Head, Image covers 240 mm x 240 mm
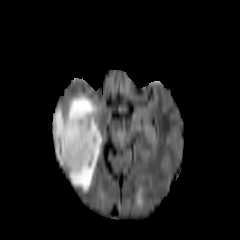
FLAIR magnetic resonance.
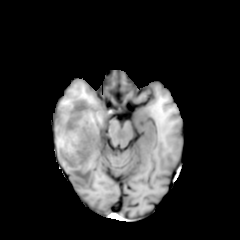
T1-weighted MR image.
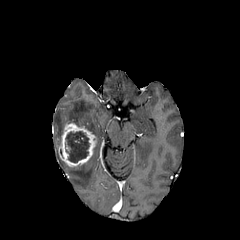
Post-contrast T1-weighted MR.
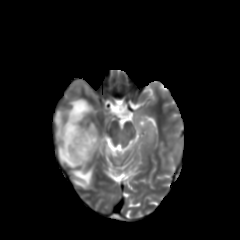
T2-weighted MR.
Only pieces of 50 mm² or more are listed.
enhancing_tumor:
  - bbox=[58, 122, 96, 166]
peritumoral_edema:
  - bbox=[53, 92, 102, 193]
necrotic_tumor_core:
  - bbox=[66, 131, 90, 162]